Slice index 70 | Image covers 240 mm x 240 mm | Head | Axial plane
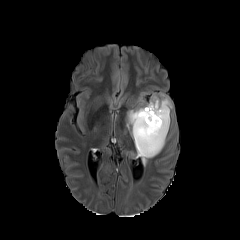
FLAIR magnetic resonance.
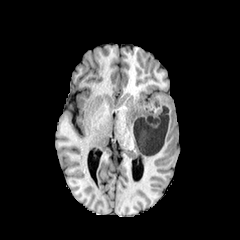
Same slice, T1-weighted MR.
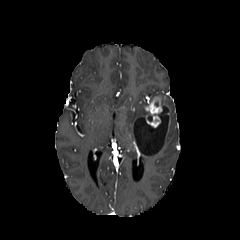
Post-contrast T1-weighted MR.
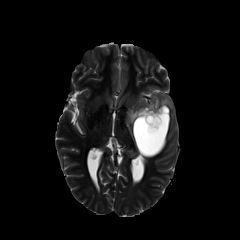
T2-weighted MRI.
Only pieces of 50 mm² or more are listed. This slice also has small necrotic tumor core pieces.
enhancing tumor at 145:97:162:127
peritumoral edema at 126:93:172:165